FLAIR MR.
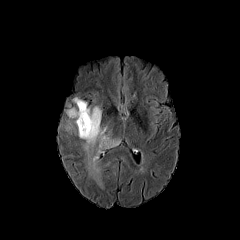
T1-weighted MR image.
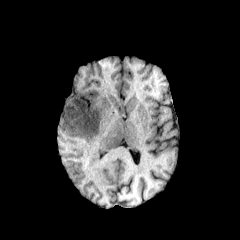
Post-contrast T1-weighted magnetic resonance.
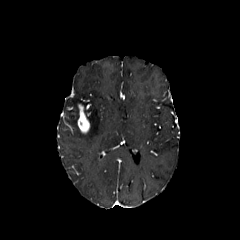
T2-weighted MR image.
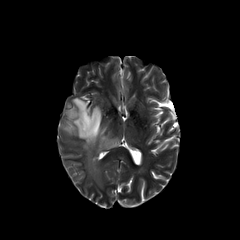
Head
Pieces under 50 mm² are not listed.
The largest enhancing tumor region is at {"x1": 77, "y1": 104, "x2": 90, "y2": 133}. The largest peritumoral edema region lies within {"x1": 66, "y1": 97, "x2": 120, "y2": 187}.